FLAIR MRI.
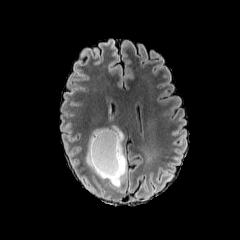
T1-weighted MRI.
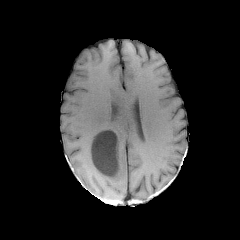
Post-contrast T1-weighted MR image.
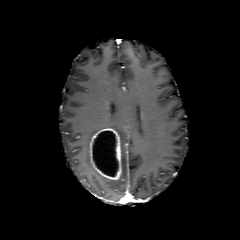
T2-weighted MR.
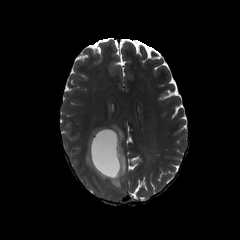
Head
enhancing tumor = <bbox>89, 128, 121, 180</bbox>
peritumoral edema = <bbox>86, 125, 126, 187</bbox>
necrotic tumor core = <bbox>92, 131, 118, 176</bbox>